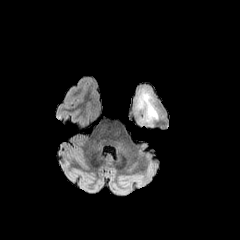
FLAIR MR.
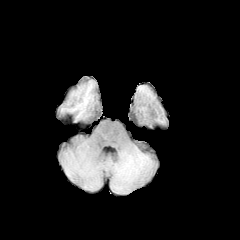
T1-weighted MRI of the same slice.
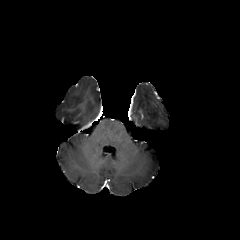
Post-contrast T1-weighted MR image.
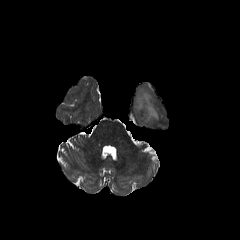
Same slice, T2-weighted magnetic resonance.
Axial view, 240x240, Brain
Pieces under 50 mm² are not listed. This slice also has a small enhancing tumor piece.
The peritumoral edema is at (135, 89, 158, 124).